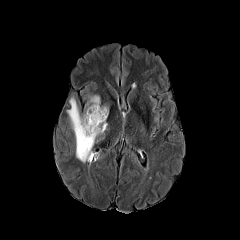
FLAIR magnetic resonance.
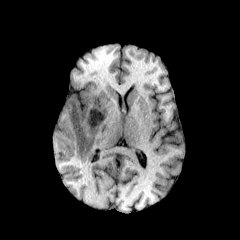
T1-weighted MR image.
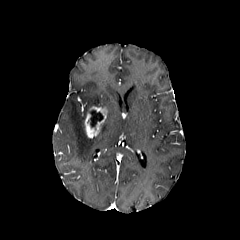
Post-contrast T1-weighted MR image of the same slice.
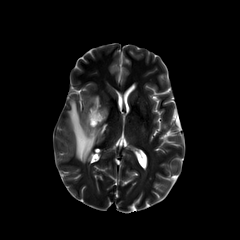
T2-weighted MRI of the same slice.
240x240 | Head | Axial slice
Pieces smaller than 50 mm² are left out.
necrotic tumor core — l=89, t=110, r=103, b=127
enhancing tumor — l=84, t=106, r=107, b=138
peritumoral edema — l=67, t=95, r=107, b=162